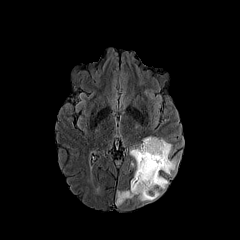
FLAIR magnetic resonance.
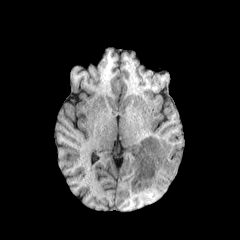
T1-weighted magnetic resonance.
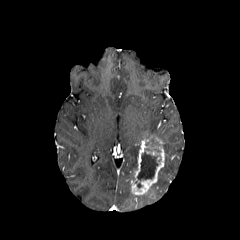
Post-contrast T1-weighted magnetic resonance of the same slice.
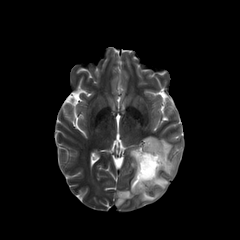
Same slice, T2-weighted magnetic resonance.
Axial slice. Brain.
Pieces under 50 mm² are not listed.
peritumoral edema — 161,139,177,175; 138,190,160,201; 130,148,139,161; 150,176,168,189; 116,190,134,205
enhancing tumor — 131,137,165,195
necrotic tumor core — 137,152,158,180